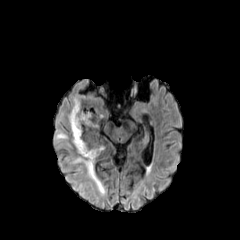
FLAIR MR.
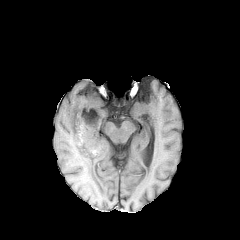
T1-weighted MR image.
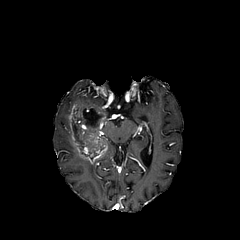
Post-contrast T1-weighted magnetic resonance.
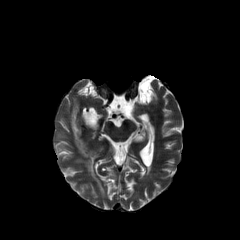
Same slice, T2-weighted MRI.
Axial view; Head
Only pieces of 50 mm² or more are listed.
necrotic tumor core at x1=72 y1=108 x2=98 y2=159, x1=84 y1=107 x2=99 y2=124
enhancing tumor at x1=67 y1=101 x2=112 y2=164
peritumoral edema at x1=56 y1=133 x2=68 y2=139, x1=72 y1=156 x2=104 y2=194